Slice index 58; Axial view; Head; 240x240
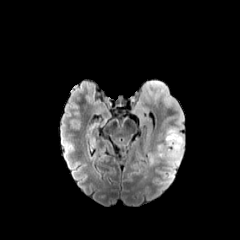
FLAIR MRI.
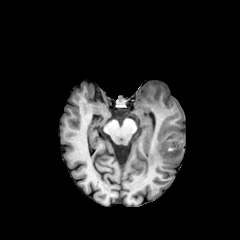
Same slice, T1-weighted MR.
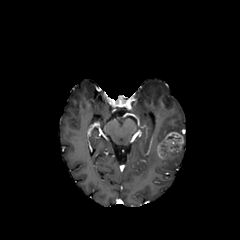
Post-contrast T1-weighted MRI.
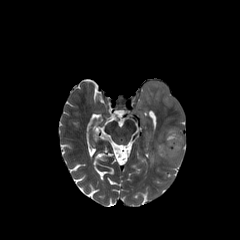
T2-weighted magnetic resonance of the same slice.
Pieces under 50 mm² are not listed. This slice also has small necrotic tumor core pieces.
peritumoral edema = l=168, t=147, r=182, b=164; l=133, t=79, r=184, b=138; l=150, t=151, r=158, b=163
enhancing tumor = l=157, t=132, r=183, b=158